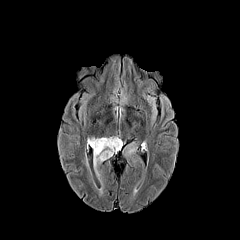
FLAIR magnetic resonance.
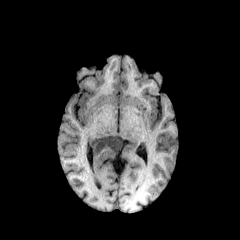
Same slice, T1-weighted magnetic resonance.
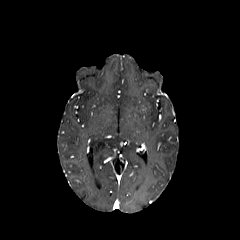
Post-contrast T1-weighted MR image.
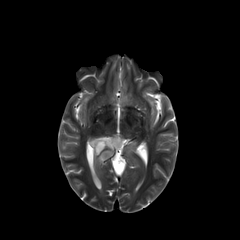
T2-weighted MRI of the same slice.
240x240 px; Head
2 peritumoral edema regions are located at [126, 145, 134, 155], [88, 137, 121, 176].